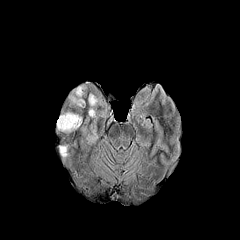
FLAIR MR image.
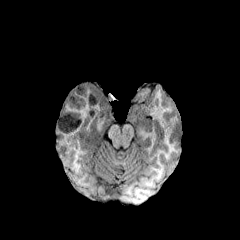
Same slice, T1-weighted MR.
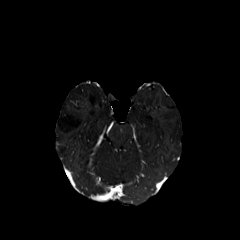
Same slice, post-contrast T1-weighted magnetic resonance.
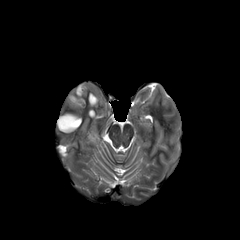
T2-weighted MR of the same slice.
Brain. Image size 240x240.
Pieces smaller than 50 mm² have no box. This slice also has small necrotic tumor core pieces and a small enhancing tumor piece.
Annotated regions:
- peritumoral edema: x1=70, y1=85, x2=86, y2=107; x1=88, y1=94, x2=101, y2=106; x1=59, y1=146, x2=67, y2=155; x1=57, y1=113, x2=81, y2=132